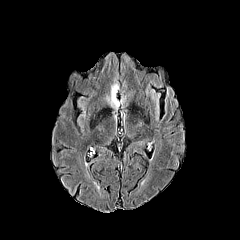
FLAIR magnetic resonance.
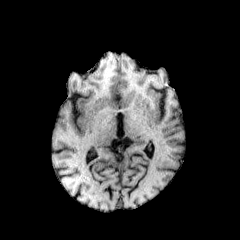
Same slice, T1-weighted MRI.
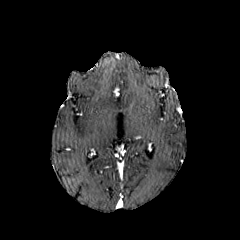
Same slice, post-contrast T1-weighted magnetic resonance.
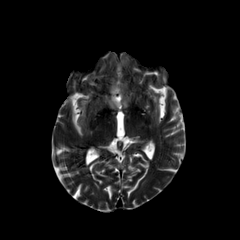
T2-weighted MR image.
Axial slice
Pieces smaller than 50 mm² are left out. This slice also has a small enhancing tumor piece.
Annotated regions:
- peritumoral edema: (left=106, top=81, right=125, bottom=109)